Head; Image size 240x240
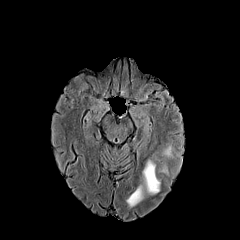
FLAIR MR image.
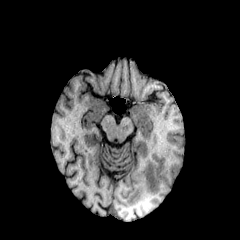
T1-weighted magnetic resonance.
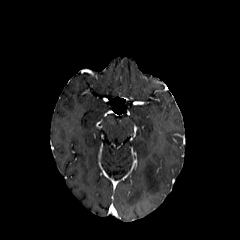
Post-contrast T1-weighted MR image of the same slice.
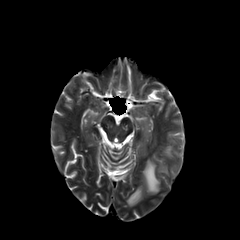
Same slice, T2-weighted MR.
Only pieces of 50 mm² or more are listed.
peritumoral edema: 163:145:171:157, 126:159:160:206